Slice 95 of 155; Brain; Axial slice; 240x240 px
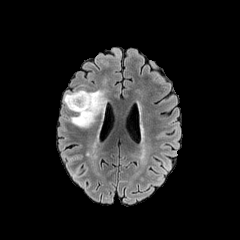
FLAIR MRI.
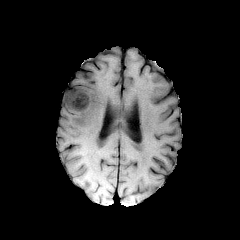
T1-weighted magnetic resonance of the same slice.
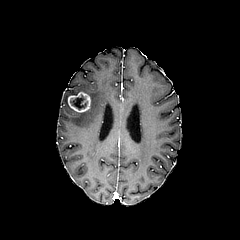
Post-contrast T1-weighted MR of the same slice.
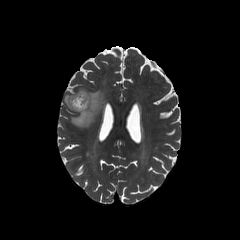
Same slice, T2-weighted magnetic resonance.
{"necrotic_tumor_core": ["70, 97, 86, 109"], "enhancing_tumor": ["67, 91, 91, 112"], "peritumoral_edema": ["63, 88, 105, 127"]}